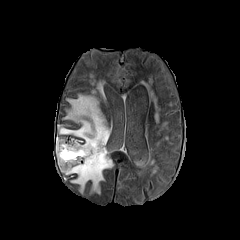
FLAIR MR image.
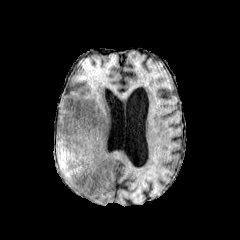
T1-weighted MR.
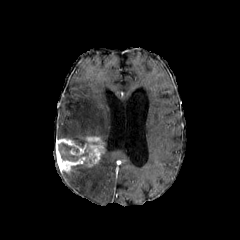
Post-contrast T1-weighted MR of the same slice.
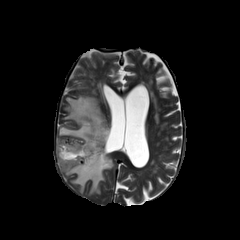
Same slice, T2-weighted MR image.
Axial slice. Head.
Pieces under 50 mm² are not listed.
enhancing tumor: box(56, 136, 104, 172)
necrotic tumor core: box(59, 143, 78, 160)
peritumoral edema: box(65, 152, 113, 193); box(58, 95, 109, 144)